240x240 px, Slice 115/155, Image width 240 mm, 1.00 mm slice spacing, Head
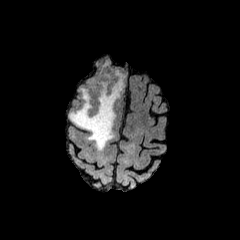
FLAIR MR.
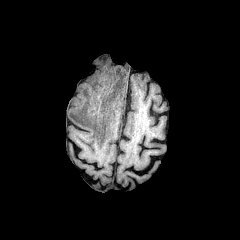
T1-weighted magnetic resonance.
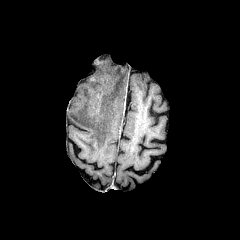
Post-contrast T1-weighted MR image of the same slice.
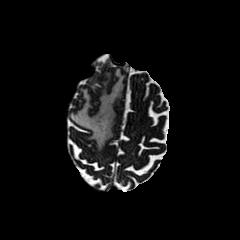
T2-weighted MR image of the same slice.
peritumoral edema: (69,70,124,150)